Slice 67 of 155 | 240x240 px | Brain
FLAIR MRI.
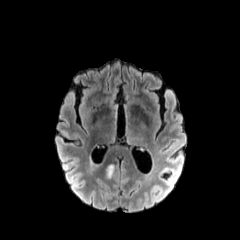
T1-weighted magnetic resonance.
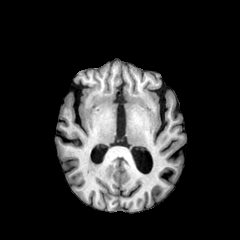
Post-contrast T1-weighted MR.
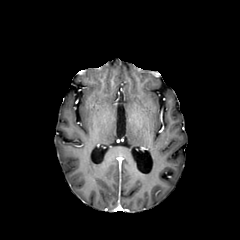
T2-weighted magnetic resonance.
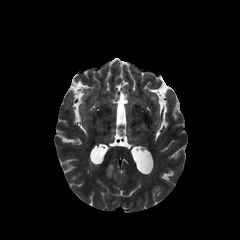
The peritumoral edema is bounded by 106:165:113:177.